FLAIR MRI.
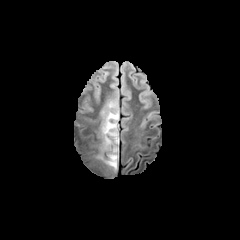
T1-weighted MR image.
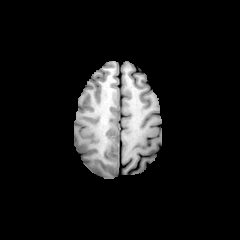
Post-contrast T1-weighted MR.
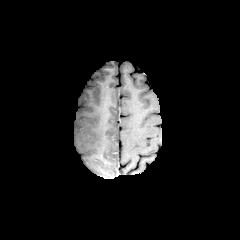
T2-weighted MR.
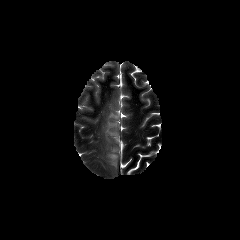
Axial plane
<segmentation>
  <peritumoral_edema>(102, 111, 118, 145), (106, 146, 117, 167)</peritumoral_edema>
</segmentation>